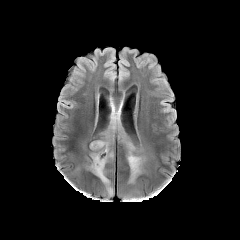
FLAIR magnetic resonance.
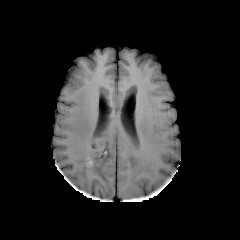
T1-weighted MRI.
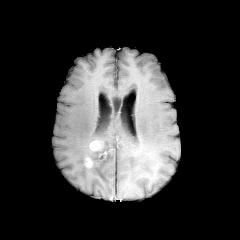
Post-contrast T1-weighted MRI.
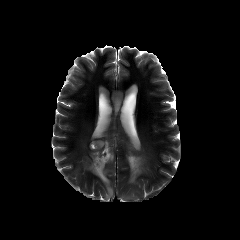
T2-weighted MR.
Axial slice.
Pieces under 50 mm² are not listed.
Segmented structures:
- enhancing tumor: <box>89,140,103,151</box>, <box>86,158,92,167</box>
- peritumoral edema: <box>119,134,145,183</box>, <box>87,109,120,194</box>